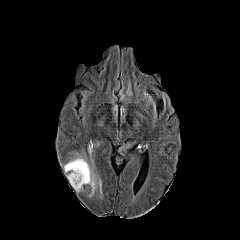
FLAIR magnetic resonance.
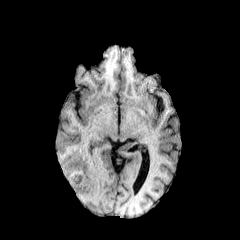
T1-weighted MR image.
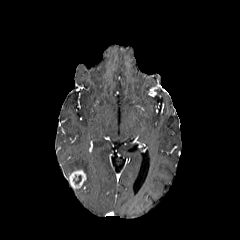
Post-contrast T1-weighted MR image.
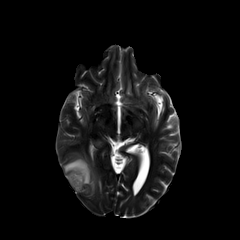
T2-weighted magnetic resonance of the same slice.
240x240
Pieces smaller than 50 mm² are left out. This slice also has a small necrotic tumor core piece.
peritumoral edema — rect(63, 152, 101, 196)
enhancing tumor — rect(68, 169, 86, 188)